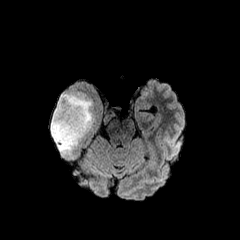
FLAIR MR.
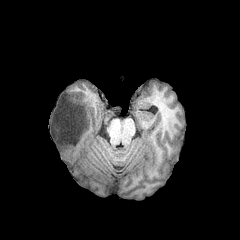
T1-weighted MR.
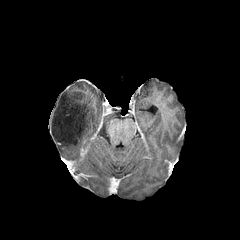
Post-contrast T1-weighted magnetic resonance of the same slice.
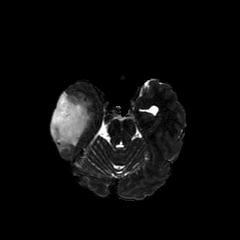
T2-weighted MRI.
240x240 px.
peritumoral edema = 50, 93, 93, 154